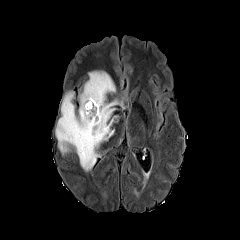
FLAIR MR image.
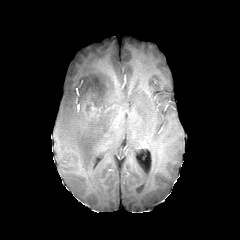
T1-weighted MR image of the same slice.
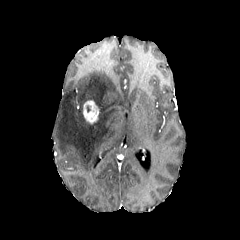
Post-contrast T1-weighted MRI of the same slice.
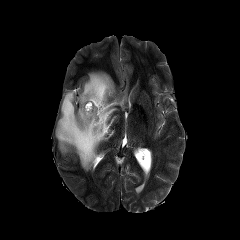
T2-weighted MR.
Axial slice | Head
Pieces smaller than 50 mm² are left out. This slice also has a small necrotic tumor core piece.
Findings:
- peritumoral edema: 55 71 124 171
- enhancing tumor: 83 100 99 123